FLAIR MR image.
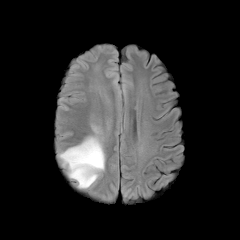
T1-weighted MR.
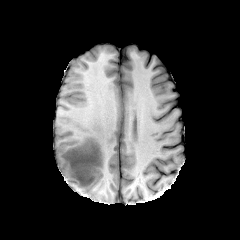
Post-contrast T1-weighted MR image.
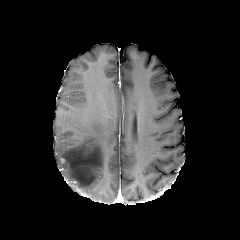
T2-weighted MR.
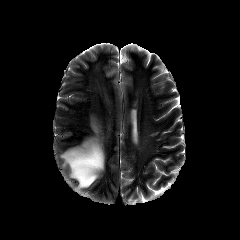
Head
The peritumoral edema is located at bbox(59, 124, 105, 188).